FLAIR MR image.
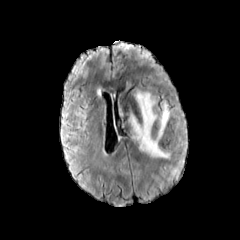
T1-weighted MRI.
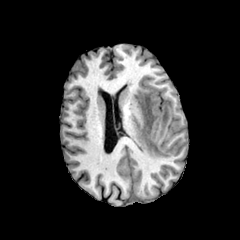
Post-contrast T1-weighted magnetic resonance.
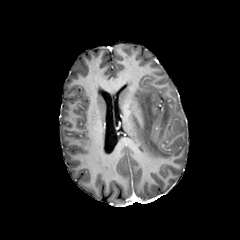
T2-weighted MR.
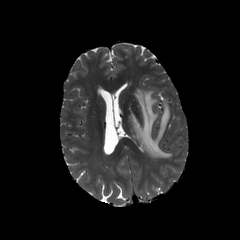
Image size 240x240
The peritumoral edema is at bbox=[129, 89, 170, 158].